Slice 125 of 155 | Brain
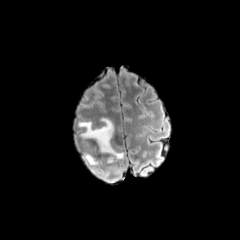
FLAIR MRI.
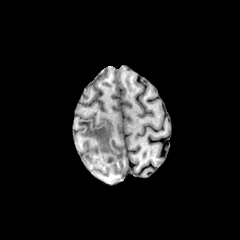
Same slice, T1-weighted MR.
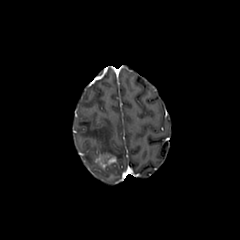
Post-contrast T1-weighted MR.
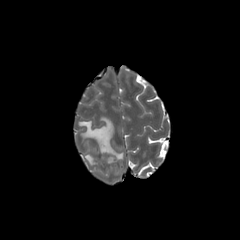
T2-weighted magnetic resonance of the same slice.
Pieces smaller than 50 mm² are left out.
Annotated regions:
* peritumoral edema: 85:154:119:179, 78:117:124:161
* enhancing tumor: 95:154:116:168